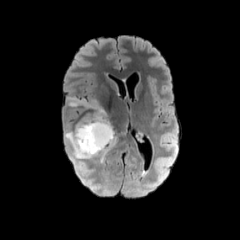
FLAIR MR image.
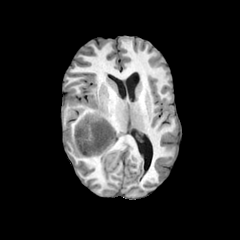
T1-weighted MR image.
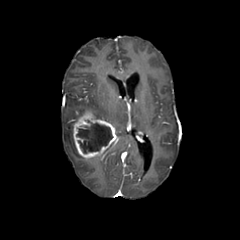
Post-contrast T1-weighted MRI.
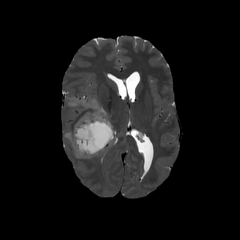
T2-weighted MRI.
Head | Axial view
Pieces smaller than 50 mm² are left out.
The necrotic tumor core is bounded by {"x1": 77, "y1": 121, "x2": 112, "y2": 153}. The enhancing tumor is located at {"x1": 73, "y1": 112, "x2": 117, "y2": 158}. The 2 largest peritumoral edema regions appear at {"x1": 65, "y1": 132, "x2": 84, "y2": 158}, {"x1": 69, "y1": 98, "x2": 107, "y2": 120}.